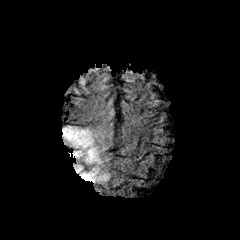
FLAIR MR.
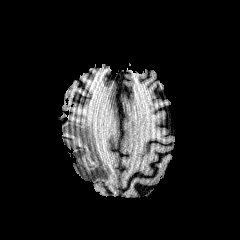
Same slice, T1-weighted MR image.
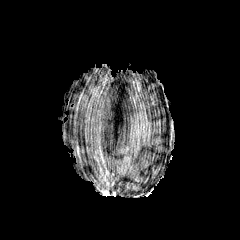
Same slice, post-contrast T1-weighted MRI.
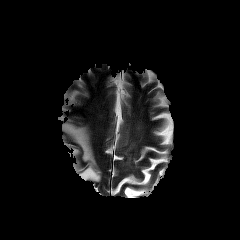
T2-weighted MRI.
Axial view
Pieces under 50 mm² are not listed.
The largest peritumoral edema region lies within 62,125,109,183.